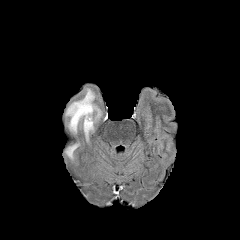
FLAIR MR image.
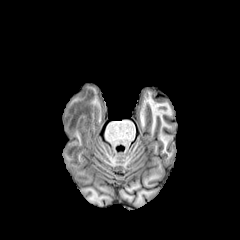
Same slice, T1-weighted MR image.
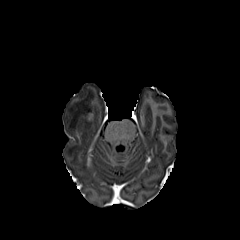
Same slice, post-contrast T1-weighted MRI.
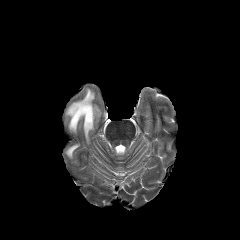
Same slice, T2-weighted magnetic resonance.
2 peritumoral edema regions appear at x1=66 y1=89 x2=100 y2=140, x1=66 y1=144 x2=78 y2=158. The enhancing tumor lies within x1=86 y1=114 x2=93 y2=121.